240x240 | Head | Axial slice | Slice 105/155
FLAIR MR.
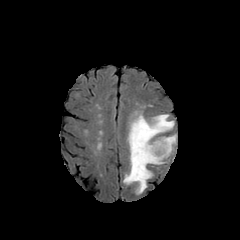
T1-weighted magnetic resonance.
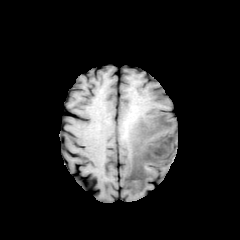
Post-contrast T1-weighted MR.
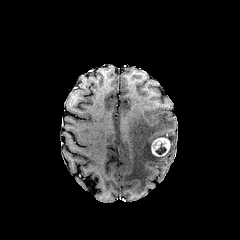
T2-weighted magnetic resonance.
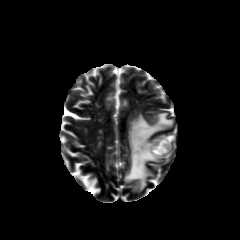
necrotic_tumor_core:
  - 155 143 166 154
peritumoral_edema:
  - 123 113 176 193
enhancing_tumor:
  - 151 137 170 156